FLAIR MRI.
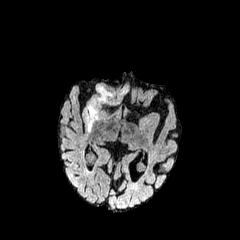
T1-weighted MR image.
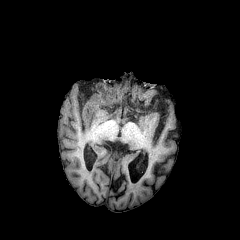
Post-contrast T1-weighted magnetic resonance.
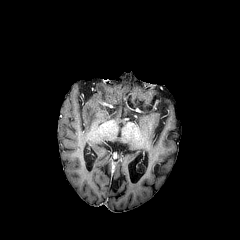
T2-weighted MR.
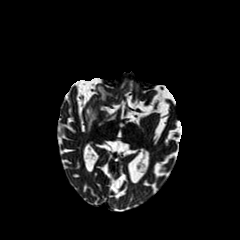
Brain
Segmented structures:
- peritumoral edema: 87,104,96,131; 97,86,112,101